FLAIR MRI.
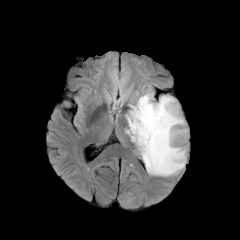
T1-weighted MRI.
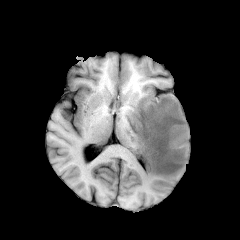
Post-contrast T1-weighted magnetic resonance.
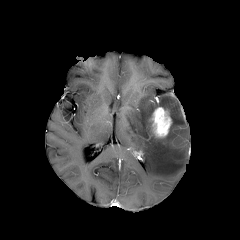
T2-weighted MR.
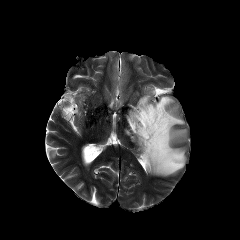
Head | 240x240 px
enhancing tumor: bounding box (151, 107, 171, 138)
peritumoral edema: bounding box (125, 92, 187, 176)